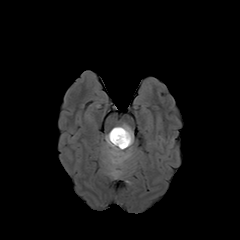
FLAIR MRI.
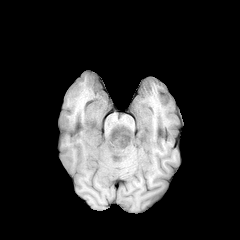
T1-weighted MR image of the same slice.
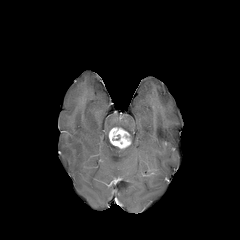
Post-contrast T1-weighted magnetic resonance of the same slice.
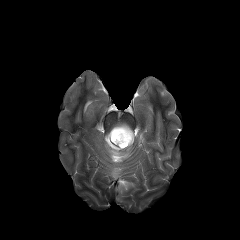
T2-weighted MR.
240x240 px, Head, Axial view
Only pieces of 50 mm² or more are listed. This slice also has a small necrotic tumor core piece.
The enhancing tumor is located at (left=109, top=127, right=131, bottom=148). The peritumoral edema is at (left=102, top=123, right=134, bottom=178).